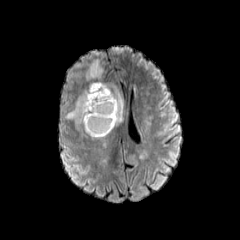
FLAIR MR.
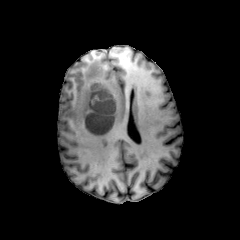
Same slice, T1-weighted magnetic resonance.
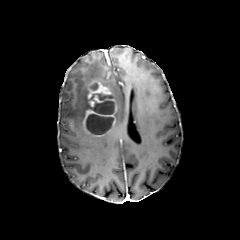
Post-contrast T1-weighted magnetic resonance.
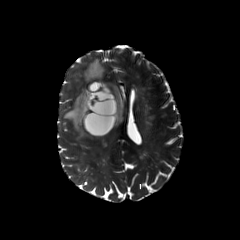
Same slice, T2-weighted MR.
Brain
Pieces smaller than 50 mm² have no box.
The 2 largest peritumoral edema regions appear at (left=85, top=59, right=124, bottom=126), (left=65, top=87, right=88, bottom=132). The largest enhancing tumor region lies within (left=83, top=80, right=117, bottom=136). The 2 largest necrotic tumor core regions are bounded by (left=86, top=114, right=113, bottom=134), (left=90, top=93, right=114, bottom=114).